FLAIR MRI.
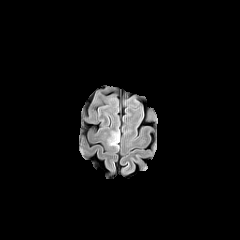
T1-weighted MRI.
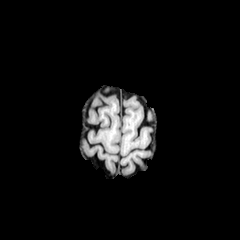
Post-contrast T1-weighted magnetic resonance.
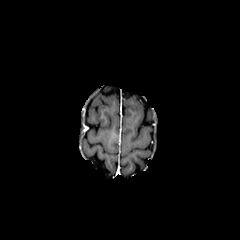
T2-weighted magnetic resonance.
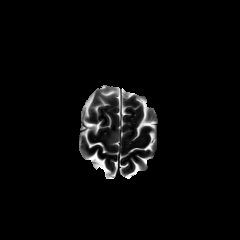
Axial slice | 240x240
peritumoral_edema:
  - region(107, 130, 119, 147)